Brain | Axial slice
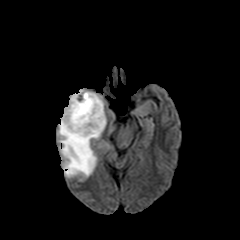
FLAIR MRI.
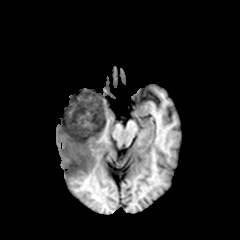
T1-weighted MR image of the same slice.
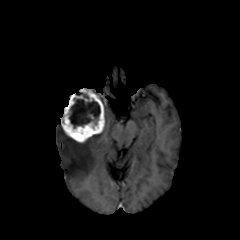
Same slice, post-contrast T1-weighted MRI.
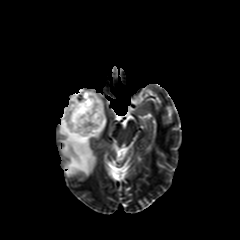
T2-weighted MR.
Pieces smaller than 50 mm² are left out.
{"necrotic_tumor_core": ["left=69, top=98, right=100, bottom=128"], "enhancing_tumor": ["left=61, top=89, right=105, bottom=142"], "peritumoral_edema": ["left=57, top=125, right=100, bottom=177"]}